FLAIR MRI.
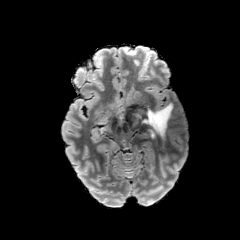
T1-weighted MR.
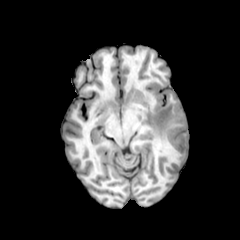
Post-contrast T1-weighted MRI.
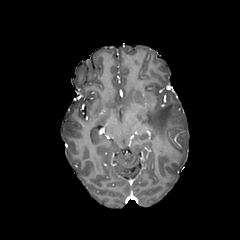
T2-weighted magnetic resonance.
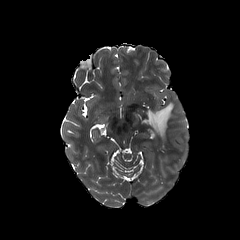
240x240 px | Axial view | Brain
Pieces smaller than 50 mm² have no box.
peritumoral edema: bbox(141, 103, 178, 139)